Slice index 122. 240x240.
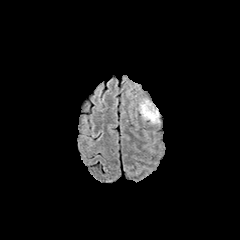
FLAIR MR image.
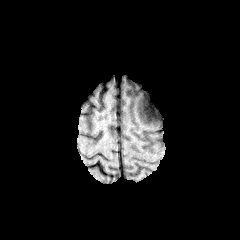
T1-weighted MR image.
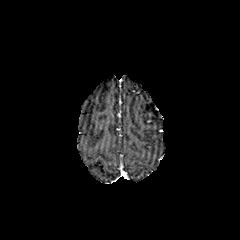
Same slice, post-contrast T1-weighted MRI.
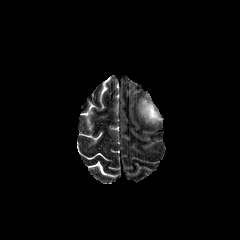
Same slice, T2-weighted MRI.
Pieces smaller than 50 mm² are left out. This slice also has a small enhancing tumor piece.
peritumoral edema: [x1=140, y1=100, x2=158, y2=122]